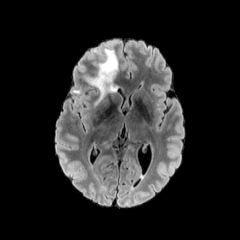
FLAIR MR image.
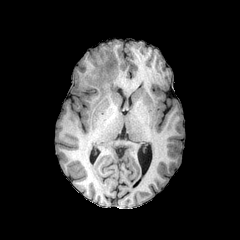
Same slice, T1-weighted MR image.
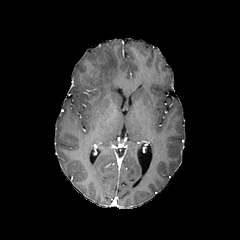
Post-contrast T1-weighted MRI.
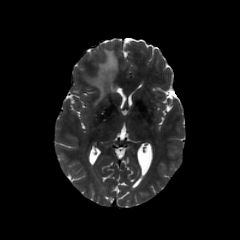
T2-weighted MRI of the same slice.
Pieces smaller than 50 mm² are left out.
Segmented structures:
- peritumoral edema: 84 49 117 105